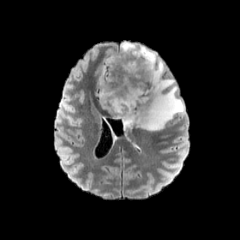
FLAIR MRI.
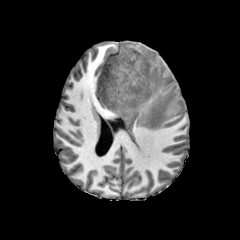
Same slice, T1-weighted MR image.
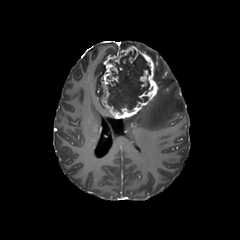
Post-contrast T1-weighted MR of the same slice.
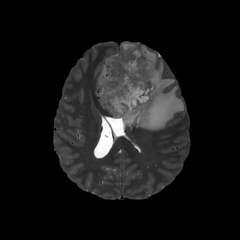
T2-weighted MRI.
Axial plane
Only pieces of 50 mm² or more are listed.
{"peritumoral_edema": ["[x1=121, y1=42, x2=184, y2=130]"], "necrotic_tumor_core": ["[x1=107, y1=50, x2=150, y2=112]"], "enhancing_tumor": ["[x1=100, y1=46, x2=158, y2=118]"]}